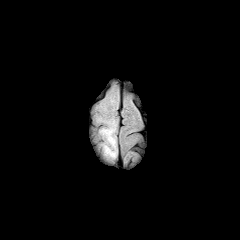
FLAIR MR image.
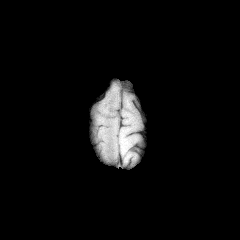
T1-weighted magnetic resonance of the same slice.
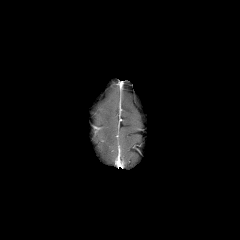
Post-contrast T1-weighted magnetic resonance.
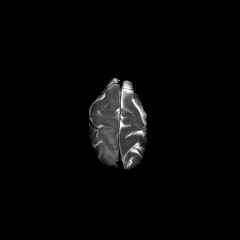
T2-weighted MR image of the same slice.
Head; Axial plane
2 peritumoral edema regions are located at (x1=101, y1=122, x2=115, y2=148), (x1=103, y1=145, x2=116, y2=157).